FLAIR MRI.
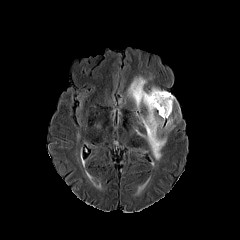
T1-weighted MR.
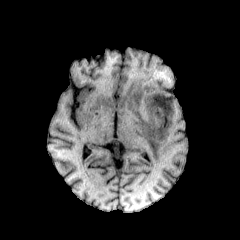
Post-contrast T1-weighted magnetic resonance.
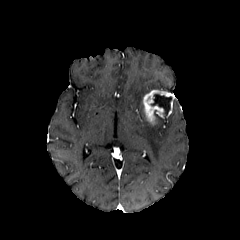
T2-weighted MR.
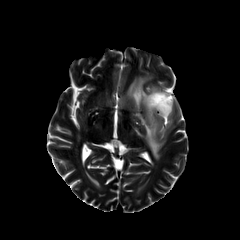
Head
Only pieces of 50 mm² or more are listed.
necrotic tumor core = 151, 94, 171, 117
peritumoral edema = 135, 113, 166, 159; 128, 76, 148, 110; 166, 115, 174, 130
enhancing tumor = 142, 89, 174, 125